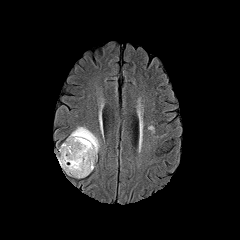
FLAIR magnetic resonance.
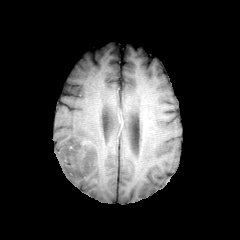
T1-weighted MR.
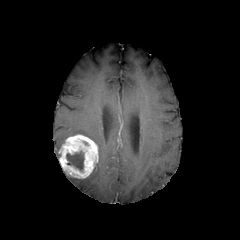
Post-contrast T1-weighted MR image.
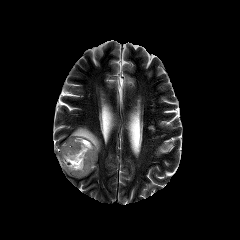
T2-weighted MRI.
Brain | Axial plane
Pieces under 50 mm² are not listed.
{"enhancing_tumor": ["box=[59, 134, 98, 178]"], "necrotic_tumor_core": ["box=[66, 151, 83, 170]"], "peritumoral_edema": ["box=[70, 127, 100, 152]"]}